FLAIR MR.
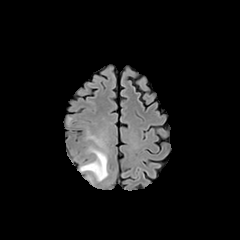
T1-weighted MR image.
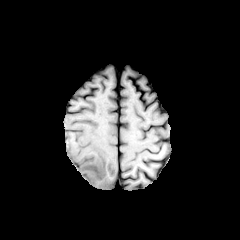
Post-contrast T1-weighted MRI.
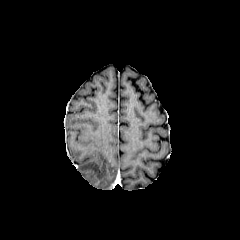
T2-weighted MRI.
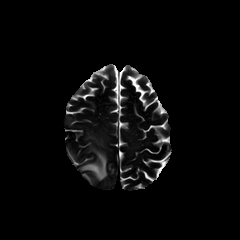
Brain; Axial slice
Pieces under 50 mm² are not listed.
peritumoral edema at 80,147,107,181; 88,136,102,145